Head, Slice 73 of 155
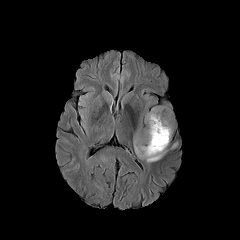
FLAIR magnetic resonance.
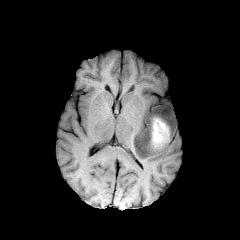
T1-weighted MR image.
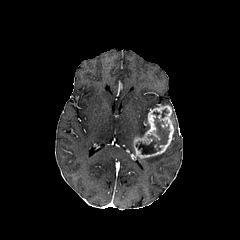
Same slice, post-contrast T1-weighted MR.
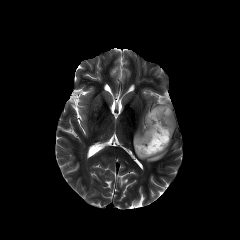
Same slice, T2-weighted magnetic resonance.
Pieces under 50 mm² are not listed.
The largest necrotic tumor core region is bounded by [136, 118, 169, 154]. The largest peritumoral edema region is located at [145, 150, 166, 162]. The largest enhancing tumor region is bounded by [133, 104, 174, 158].